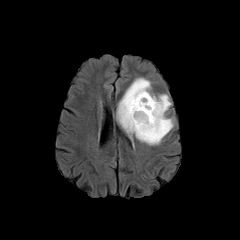
FLAIR MRI.
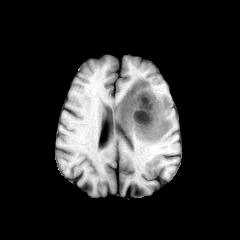
T1-weighted MR.
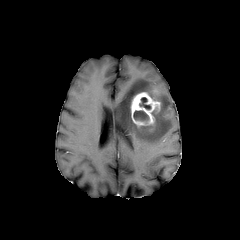
Post-contrast T1-weighted MR.
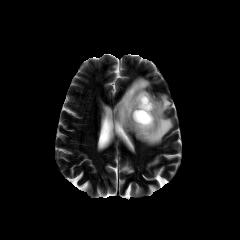
T2-weighted MR image of the same slice.
Axial view | Head
peritumoral edema: 116:77:173:145 | necrotic tumor core: 139:97:150:109, 134:111:148:120 | enhancing tumor: 130:92:160:130